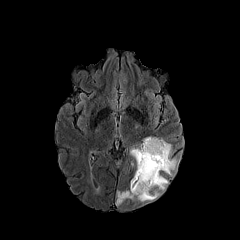
FLAIR MR image.
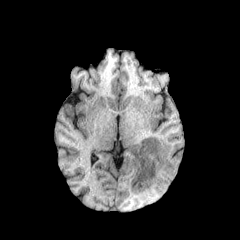
T1-weighted MRI of the same slice.
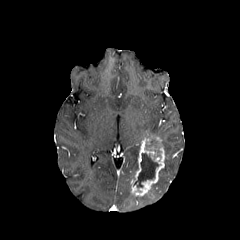
Post-contrast T1-weighted MRI.
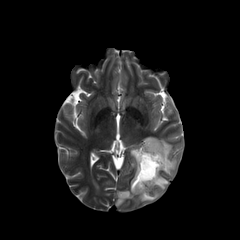
T2-weighted MR image.
Image size 240x240. Head. Axial view.
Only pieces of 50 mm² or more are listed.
enhancing tumor: x1=131 y1=137 x2=165 y2=196
peritumoral edema: x1=116 y1=185 x2=134 y2=205, x1=152 y1=173 x2=168 y2=190, x1=161 y1=139 x2=177 y2=175, x1=130 y1=148 x2=139 y2=164, x1=137 y1=190 x2=159 y2=201
necrotic tumor core: x1=134 y1=153 x2=158 y2=187